FLAIR MRI.
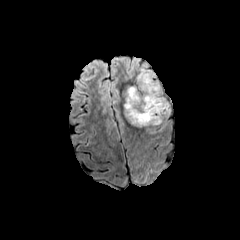
T1-weighted MR.
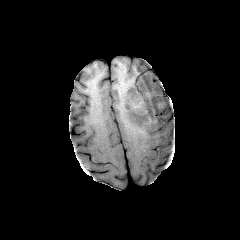
Post-contrast T1-weighted MR image.
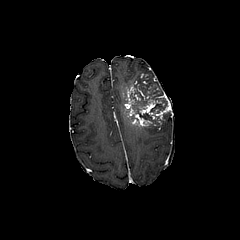
T2-weighted MRI.
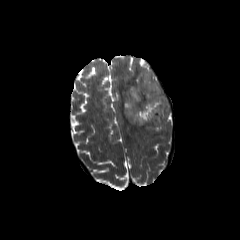
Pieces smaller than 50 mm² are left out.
{"peritumoral_edema": ["bbox=[136, 69, 159, 84]", "bbox=[124, 72, 133, 80]"], "enhancing_tumor": ["bbox=[140, 73, 148, 83]", "bbox=[123, 80, 171, 127]"], "necrotic_tumor_core": ["bbox=[154, 111, 170, 121]", "bbox=[130, 83, 167, 120]"]}